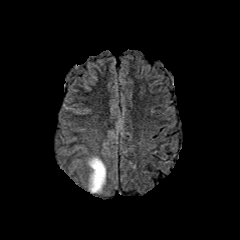
FLAIR MR image.
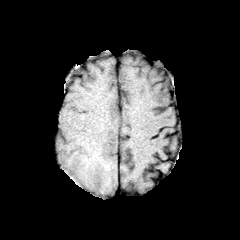
T1-weighted MR image.
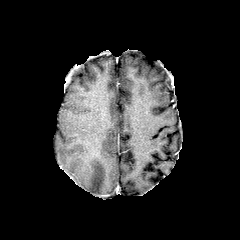
Post-contrast T1-weighted MR image.
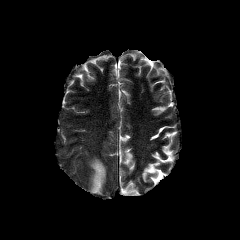
Same slice, T2-weighted MR.
240x240, Head
peritumoral edema: bounding box x1=89, y1=158, x2=105, y2=192